FLAIR magnetic resonance.
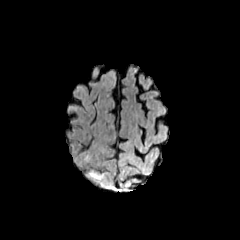
T1-weighted magnetic resonance.
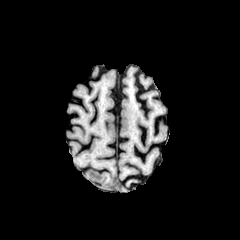
Post-contrast T1-weighted magnetic resonance.
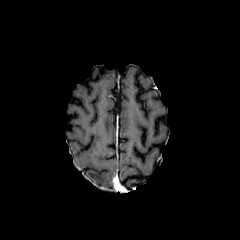
T2-weighted MRI.
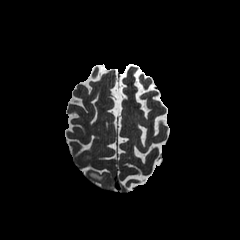
Brain. Axial slice.
{"peritumoral_edema": ["89:170:103:179"]}